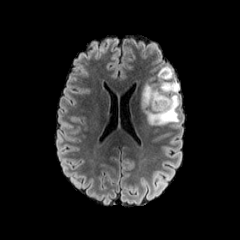
FLAIR MR image.
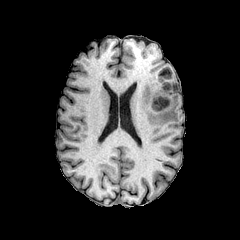
T1-weighted MR.
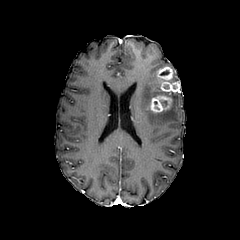
Post-contrast T1-weighted MRI.
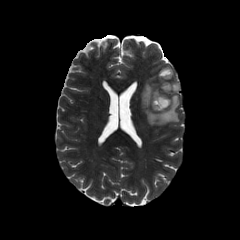
T2-weighted MRI.
Image size 240x240. Axial slice.
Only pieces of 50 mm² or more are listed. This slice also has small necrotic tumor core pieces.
enhancing_tumor:
  - (x1=157, y1=66, x2=179, y2=92)
  - (x1=145, y1=95, x2=172, y2=114)
peritumoral_edema:
  - (x1=139, y1=79, x2=179, y2=127)